FLAIR magnetic resonance.
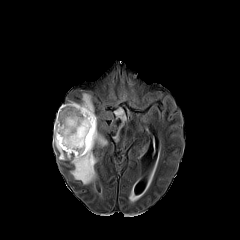
T1-weighted magnetic resonance.
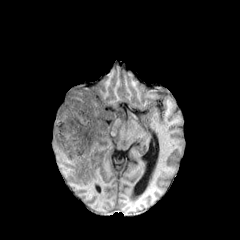
Post-contrast T1-weighted MRI.
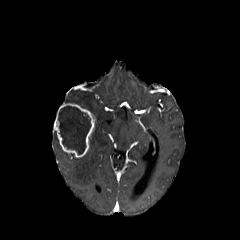
T2-weighted MRI.
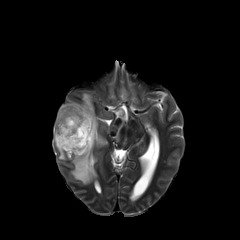
Head
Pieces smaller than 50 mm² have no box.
enhancing_tumor:
  - [54,103,95,157]
peritumoral_edema:
  - [70,120,107,184]
  - [53,132,70,160]
  - [128,191,139,201]
  - [112,123,123,143]
  - [113,107,126,122]
  - [78,93,97,118]
necrotic_tumor_core:
  - [58,106,91,154]